FLAIR MR image.
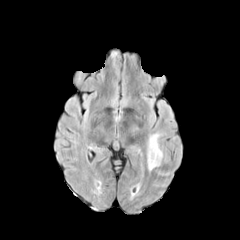
T1-weighted MRI.
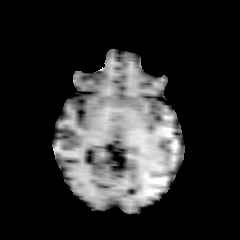
Post-contrast T1-weighted MR image.
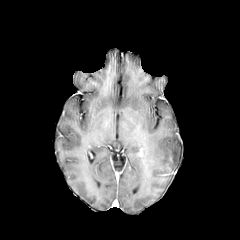
T2-weighted MR.
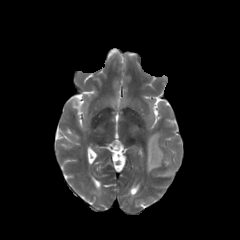
Axial view. Brain. 240x240 px.
peritumoral edema = {"x1": 147, "y1": 132, "x2": 163, "y2": 170}